Brain | Image width 240 mm | Axial view
FLAIR MRI.
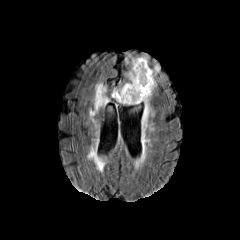
T1-weighted magnetic resonance.
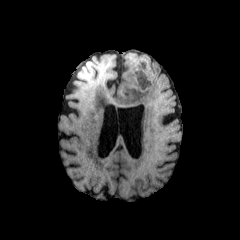
Post-contrast T1-weighted MR image.
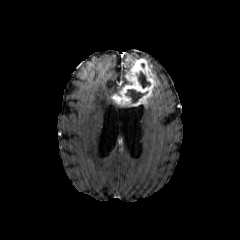
T2-weighted magnetic resonance.
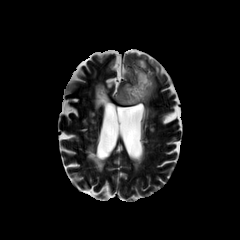
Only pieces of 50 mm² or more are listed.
The enhancing tumor is at 111,58,157,106. The 3 largest peritumoral edema regions are located at 149,64,159,77; 125,55,148,69; 111,79,131,95. The 2 largest necrotic tumor core regions are bounded by 138,72,150,88; 126,89,147,102.